FLAIR MRI.
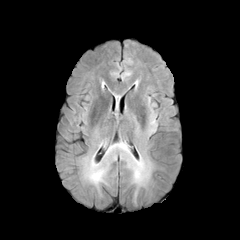
T1-weighted MR.
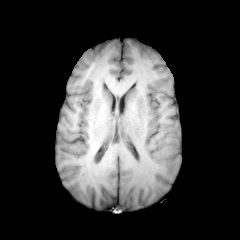
Post-contrast T1-weighted magnetic resonance.
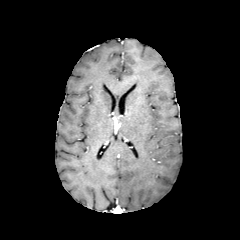
T2-weighted magnetic resonance.
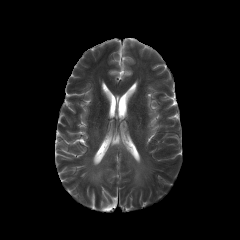
Brain
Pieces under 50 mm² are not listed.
The 3 largest peritumoral edema regions are located at (left=106, top=142, right=150, bottom=187), (left=150, top=117, right=155, bottom=131), (left=85, top=160, right=105, bottom=184).